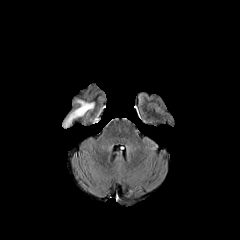
FLAIR magnetic resonance.
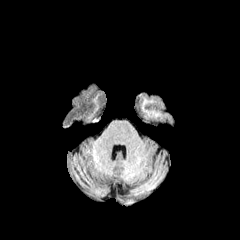
T1-weighted MR image.
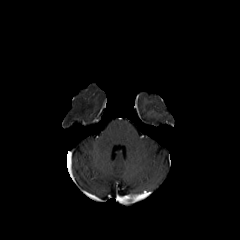
Post-contrast T1-weighted magnetic resonance.
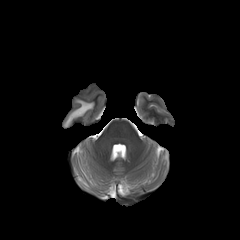
T2-weighted MR image.
Axial plane
peritumoral edema — [65, 100, 94, 126]